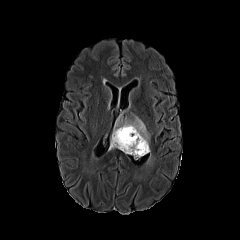
FLAIR MRI.
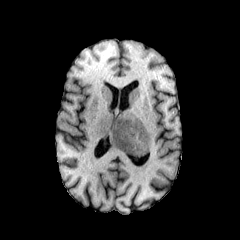
Same slice, T1-weighted MRI.
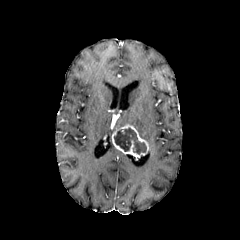
Post-contrast T1-weighted MR.
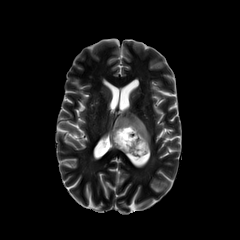
T2-weighted magnetic resonance of the same slice.
Brain | Axial view
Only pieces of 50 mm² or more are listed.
The necrotic tumor core is located at x1=114, y1=128, x2=146, y2=154. The largest peritumoral edema region lies within x1=113, y1=114, x2=150, y2=146. The enhancing tumor lies within x1=111, y1=124, x2=149, y2=157.